Axial view | Head | Slice index 97 | Image width 240 mm
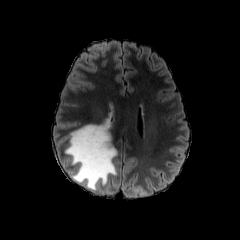
FLAIR MRI.
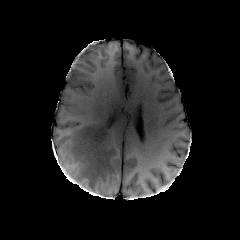
Same slice, T1-weighted MR.
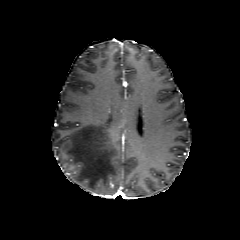
Post-contrast T1-weighted MRI of the same slice.
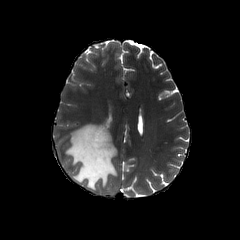
T2-weighted MR.
{"peritumoral_edema": ["box=[65, 118, 117, 190]"]}